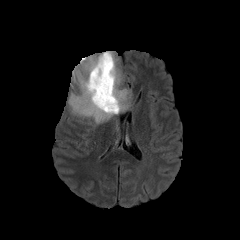
FLAIR MR.
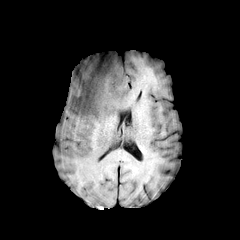
T1-weighted MR of the same slice.
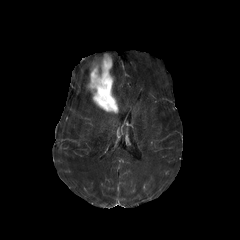
Post-contrast T1-weighted MRI.
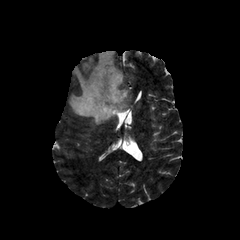
Same slice, T2-weighted MR.
Axial plane.
Findings:
* peritumoral edema: (68,51,131,125)
* enhancing tumor: (87,53,118,113)